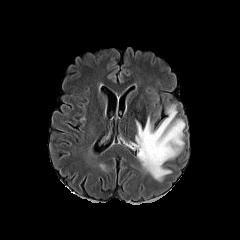
FLAIR MR.
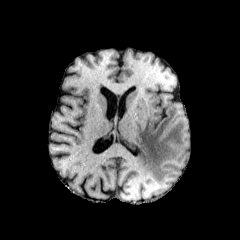
Same slice, T1-weighted MR image.
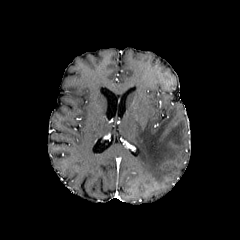
Post-contrast T1-weighted magnetic resonance.
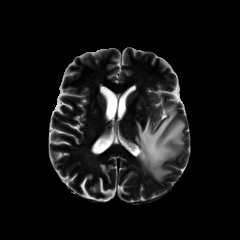
Same slice, T2-weighted MRI.
Image size 240x240; Axial slice
<segmentation>
  <peritumoral_edema>130, 104, 185, 181</peritumoral_edema>
</segmentation>